Image size 240x240
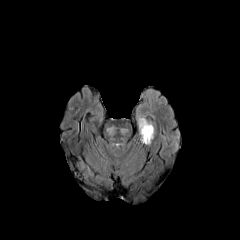
FLAIR MR image.
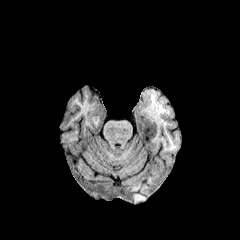
T1-weighted MR.
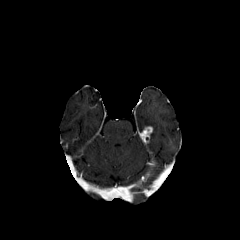
Post-contrast T1-weighted MR image.
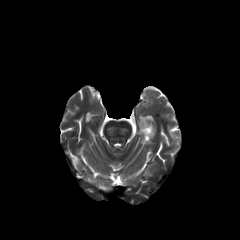
T2-weighted magnetic resonance.
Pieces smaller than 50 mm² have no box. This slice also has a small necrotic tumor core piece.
peritumoral edema: [x1=138, y1=118, x2=154, y2=143] | enhancing tumor: [x1=138, y1=126, x2=152, y2=143]